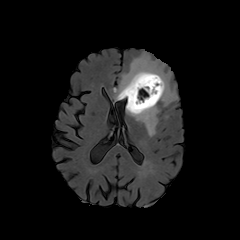
FLAIR MRI.
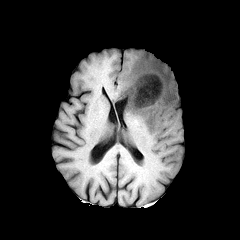
Same slice, T1-weighted MR.
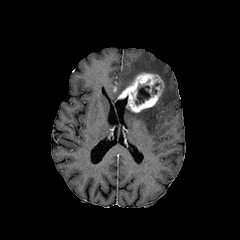
Post-contrast T1-weighted magnetic resonance of the same slice.
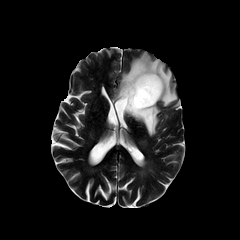
Same slice, T2-weighted magnetic resonance.
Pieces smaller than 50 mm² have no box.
Findings:
• enhancing tumor: rect(117, 72, 164, 112)
• necrotic tumor core: rect(135, 86, 150, 104)
• peritumoral edema: rect(125, 103, 160, 136); rect(113, 52, 177, 106)